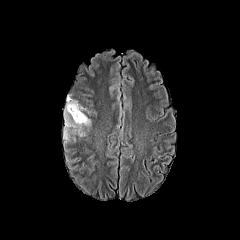
FLAIR MR image.
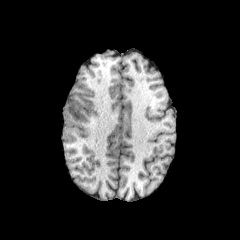
T1-weighted magnetic resonance of the same slice.
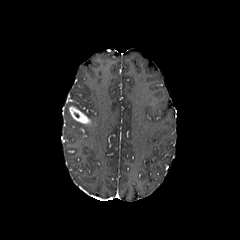
Post-contrast T1-weighted magnetic resonance.
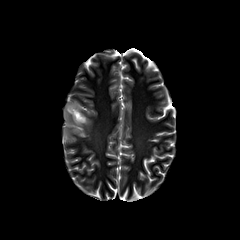
T2-weighted MR image.
Head | Axial view
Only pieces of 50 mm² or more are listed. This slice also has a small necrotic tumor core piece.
The peritumoral edema appears at x1=64, y1=101, x2=91, y2=140. The enhancing tumor is bounded by x1=69, y1=105, x2=91, y2=125.